Head
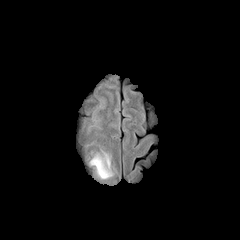
FLAIR MR image.
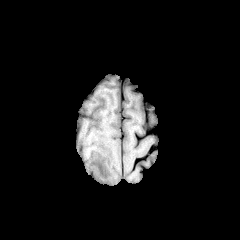
T1-weighted magnetic resonance.
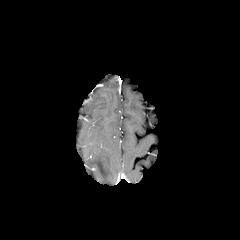
Post-contrast T1-weighted magnetic resonance.
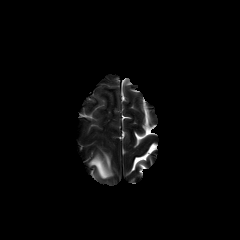
T2-weighted MR of the same slice.
peritumoral edema: (89, 151, 113, 179)